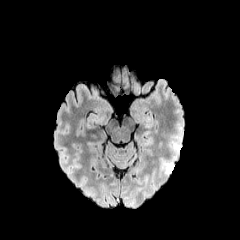
FLAIR MR.
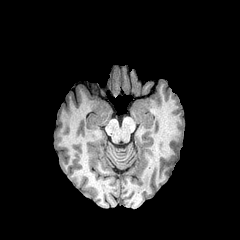
Same slice, T1-weighted MR image.
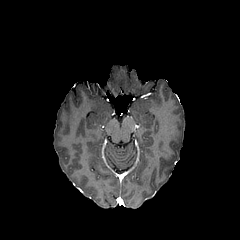
Post-contrast T1-weighted MR.
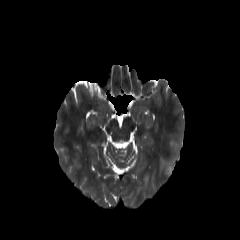
T2-weighted magnetic resonance.
240x240 | Axial plane | Head
2 peritumoral edema regions are located at <box>136,174,148,190</box>, <box>161,134,181,175</box>.